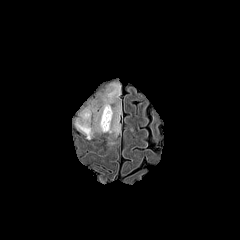
FLAIR MRI.
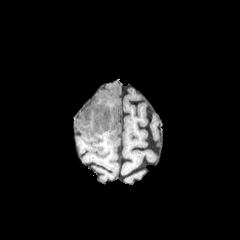
Same slice, T1-weighted magnetic resonance.
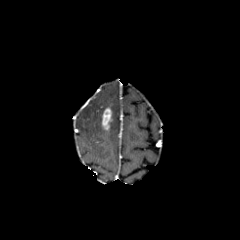
Post-contrast T1-weighted MR image of the same slice.
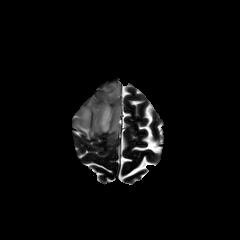
T2-weighted magnetic resonance.
Brain; Image size 240x240
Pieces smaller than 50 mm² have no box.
peritumoral edema at bbox=[76, 83, 120, 139]
enhancing tumor at bbox=[101, 107, 111, 130]